Image covers 240 mm x 240 mm, 240x240 px
FLAIR MRI.
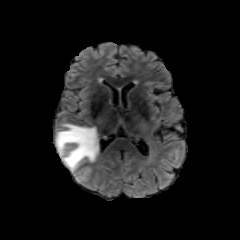
T1-weighted MR image.
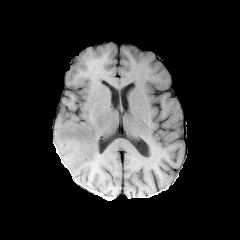
Post-contrast T1-weighted MRI.
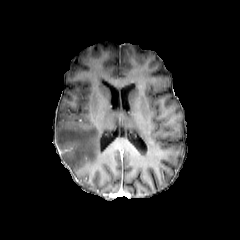
T2-weighted MR image.
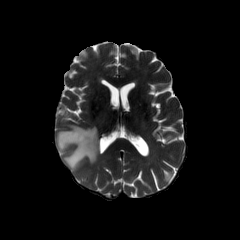
Findings:
- peritumoral edema: (left=56, top=124, right=99, bottom=180)